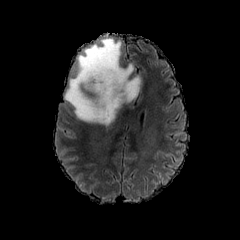
FLAIR MRI.
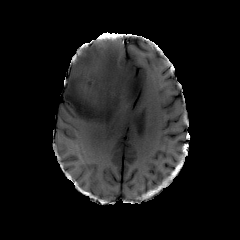
T1-weighted MR of the same slice.
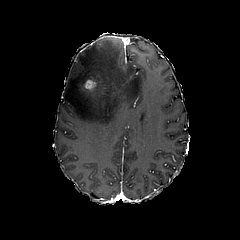
Post-contrast T1-weighted magnetic resonance.
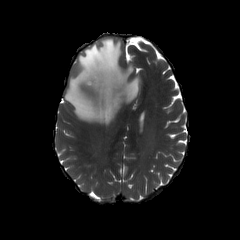
T2-weighted MRI of the same slice.
Head
Annotated regions:
* peritumoral edema: box(64, 37, 140, 125)
* enhancing tumor: box(84, 75, 98, 90)